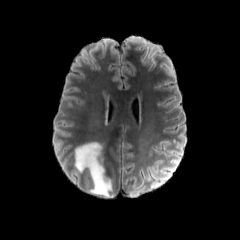
FLAIR MR.
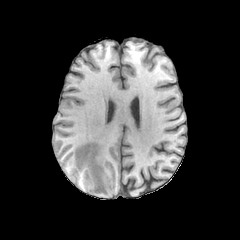
T1-weighted MRI.
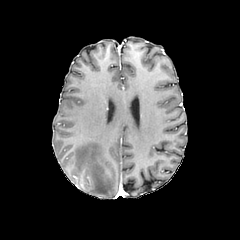
Post-contrast T1-weighted MR.
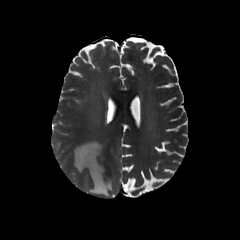
Same slice, T2-weighted MRI.
Axial plane
Segmented structures:
- peritumoral edema: (75, 142, 111, 196)